FLAIR MR.
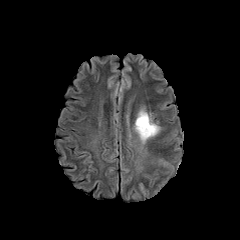
T1-weighted MR.
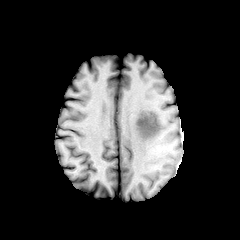
Post-contrast T1-weighted MRI.
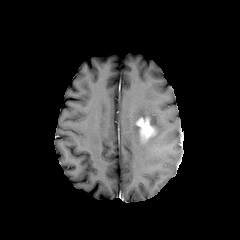
T2-weighted MR.
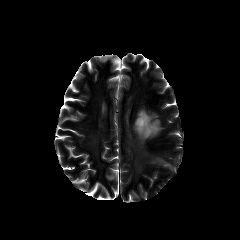
Axial slice, Brain
Annotated regions:
• peritumoral edema: box(134, 110, 159, 142)
• enhancing tumor: box(136, 117, 155, 140)